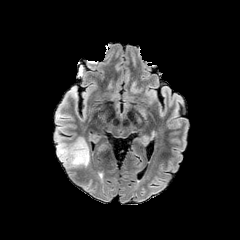
FLAIR MRI.
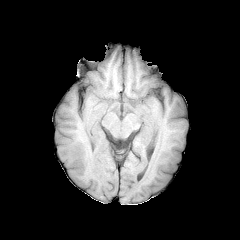
Same slice, T1-weighted MR image.
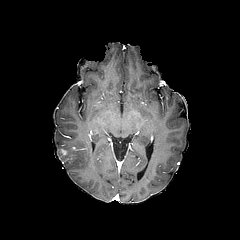
Post-contrast T1-weighted MRI.
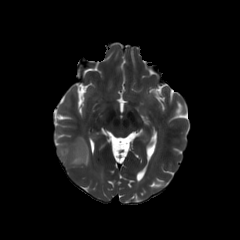
T2-weighted MR of the same slice.
Axial slice
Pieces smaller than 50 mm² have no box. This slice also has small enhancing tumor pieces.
Segmented structures:
* peritumoral edema: bbox=[57, 137, 89, 167]